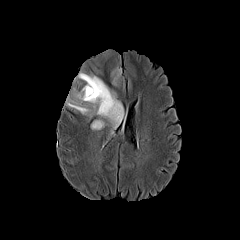
FLAIR magnetic resonance.
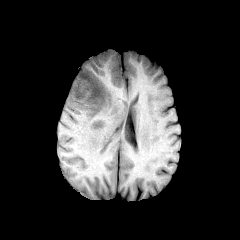
T1-weighted MR image of the same slice.
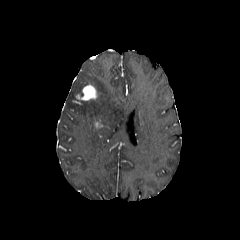
Post-contrast T1-weighted magnetic resonance.
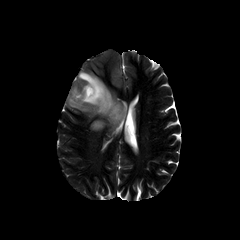
Same slice, T2-weighted MR.
{"enhancing_tumor": ["bbox(73, 83, 99, 103)", "bbox(93, 120, 103, 129)"], "peritumoral_edema": ["bbox(66, 52, 126, 134)"]}